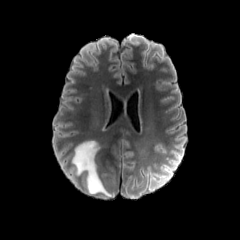
FLAIR MRI.
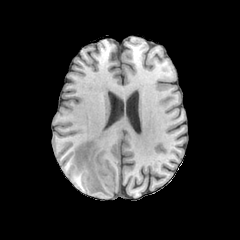
T1-weighted MR image.
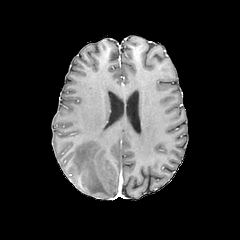
Post-contrast T1-weighted MR of the same slice.
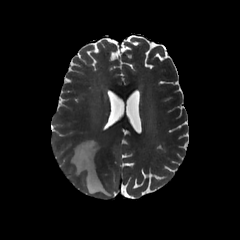
T2-weighted magnetic resonance of the same slice.
240x240 px | Head
<segmentation>
  <peritumoral_edema>{"x1": 72, "y1": 141, "x2": 111, "y2": 196}</peritumoral_edema>
</segmentation>